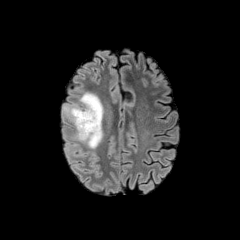
FLAIR MR.
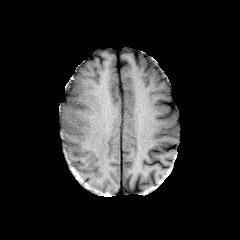
T1-weighted MR of the same slice.
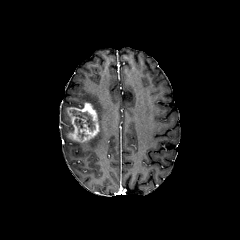
Post-contrast T1-weighted MR.
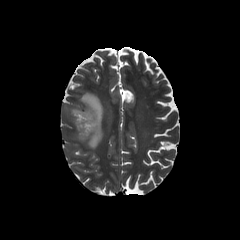
T2-weighted MR.
Brain. 240x240 px. Axial slice.
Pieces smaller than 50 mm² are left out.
peritumoral edema — 63 92 103 149, 64 132 76 152
necrotic tumor core — 73 110 94 129
enhancing tumor — 66 102 99 142